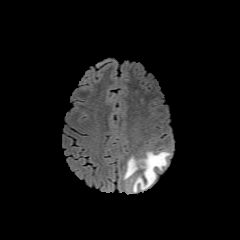
FLAIR MRI.
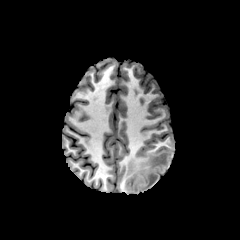
T1-weighted magnetic resonance of the same slice.
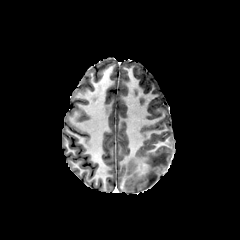
Post-contrast T1-weighted MR image of the same slice.
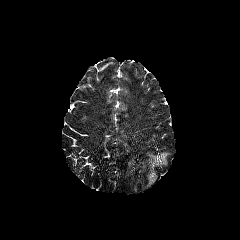
Same slice, T2-weighted MRI.
Image size 240x240 | Axial view
peritumoral edema = box=[123, 151, 170, 192]
enhancing tumor = box=[138, 163, 147, 173]